FLAIR MR.
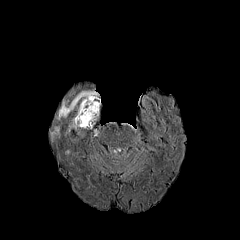
T1-weighted magnetic resonance.
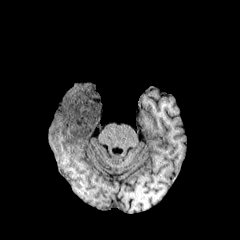
Post-contrast T1-weighted MRI.
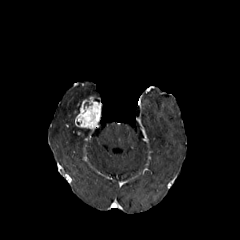
T2-weighted MR image.
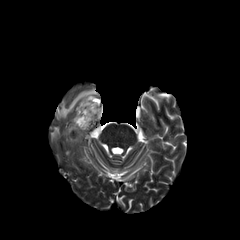
240x240 px; Head
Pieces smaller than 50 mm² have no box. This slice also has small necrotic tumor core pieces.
peritumoral edema = bbox(51, 126, 59, 139); bbox(57, 90, 98, 119)
enhancing tumor = bbox(75, 96, 101, 129)